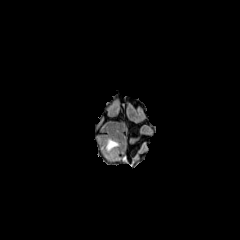
FLAIR MR image.
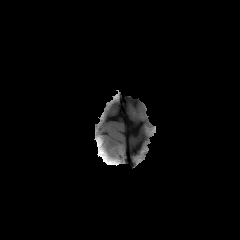
T1-weighted MRI.
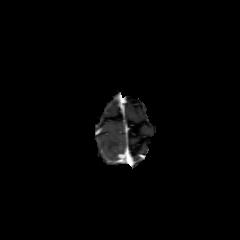
Post-contrast T1-weighted MR image.
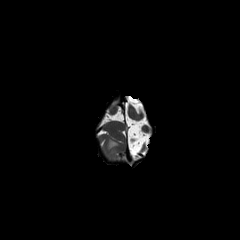
T2-weighted MRI.
Axial view
The peritumoral edema is located at 106, 139, 118, 158.